FLAIR MR.
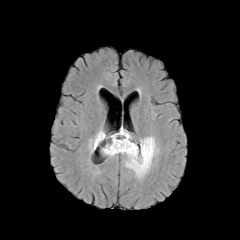
T1-weighted MR image.
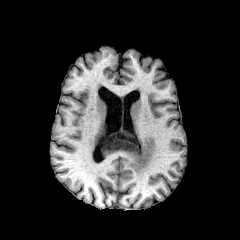
Post-contrast T1-weighted MRI.
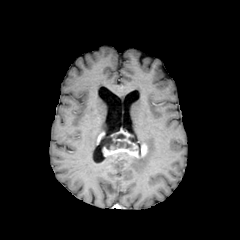
T2-weighted magnetic resonance.
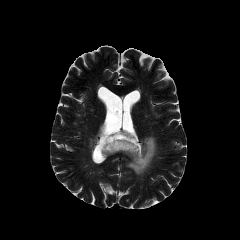
Axial plane | 240x240 | Head
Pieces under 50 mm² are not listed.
* enhancing tumor: x1=96 y1=129 x2=147 y2=157
* peritumoral edema: x1=88 y1=129 x2=102 y2=152, x1=125 y1=136 x2=157 y2=177
* necrotic tumor core: x1=98 y1=134 x2=133 y2=151